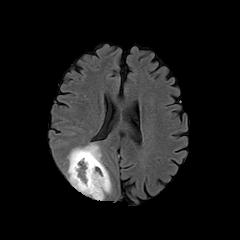
FLAIR MR.
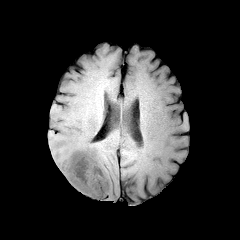
T1-weighted MRI.
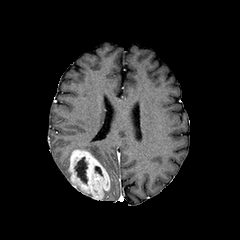
Post-contrast T1-weighted MR.
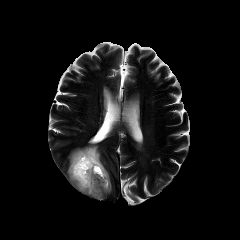
T2-weighted MR image.
Brain; Axial slice
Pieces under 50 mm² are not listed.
The largest peritumoral edema region appears at [x1=68, y1=143, x2=104, y2=167]. The enhancing tumor is at [x1=68, y1=149, x2=110, y2=199]. The largest necrotic tumor core region is bounded by [x1=74, y1=157, x2=87, y2=183].